FLAIR MR.
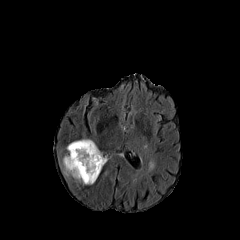
T1-weighted MRI.
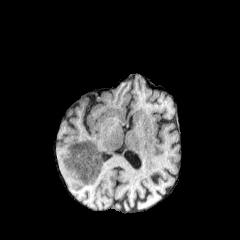
Post-contrast T1-weighted MRI.
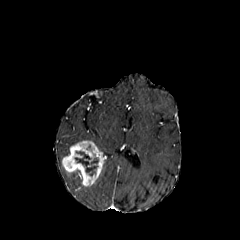
T2-weighted MRI.
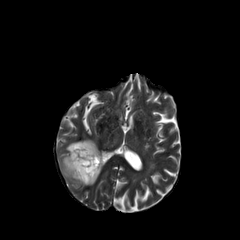
Axial view; Head; Image size 240x240
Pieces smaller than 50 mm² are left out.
enhancing tumor at (left=62, top=140, right=103, bottom=186)
peritumoral edema at (left=66, top=139, right=91, bottom=153), (left=61, top=161, right=81, bottom=183)
necrotic tumor core at (left=75, top=151, right=97, bottom=175)